FLAIR magnetic resonance.
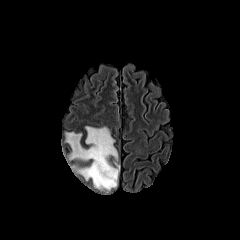
T1-weighted MR image.
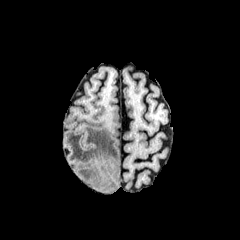
Post-contrast T1-weighted MR image.
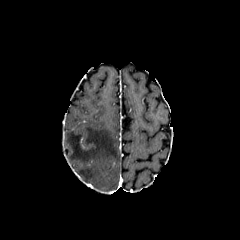
T2-weighted MR image.
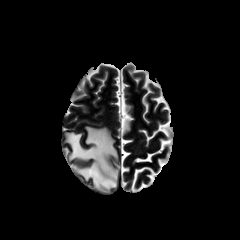
Axial view. 240x240.
The peritumoral edema appears at 65,126,119,191.